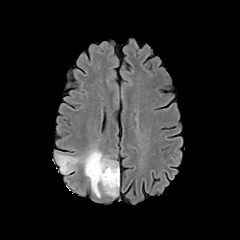
FLAIR MR.
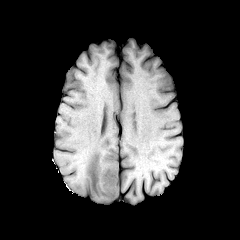
T1-weighted magnetic resonance of the same slice.
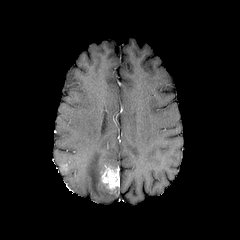
Post-contrast T1-weighted magnetic resonance of the same slice.
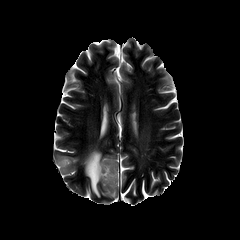
T2-weighted MR image of the same slice.
Axial view
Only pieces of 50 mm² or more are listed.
{
  "peritumoral_edema": [
    "x1=82 y1=149 x2=117 y2=197",
    "x1=56 y1=155 x2=79 y2=174"
  ],
  "enhancing_tumor": [
    "x1=100 y1=165 x2=117 y2=192"
  ]
}